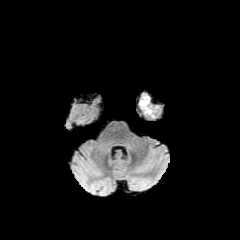
FLAIR MR image.
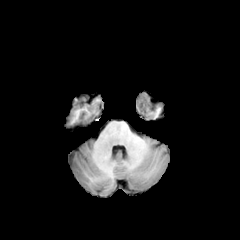
T1-weighted MR.
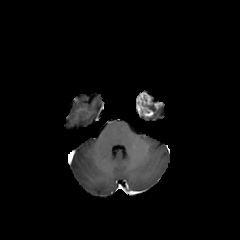
Post-contrast T1-weighted MR.
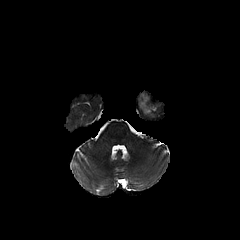
T2-weighted MR of the same slice.
Image size 240x240
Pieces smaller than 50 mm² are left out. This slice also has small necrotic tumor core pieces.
enhancing tumor: [137, 92, 159, 116]